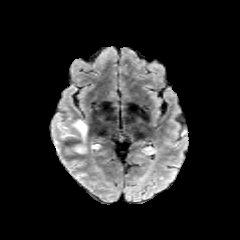
FLAIR MR.
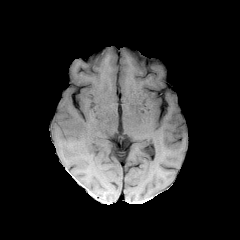
T1-weighted MR image.
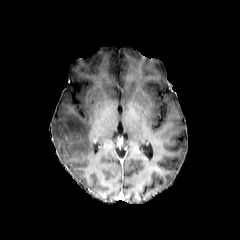
Same slice, post-contrast T1-weighted magnetic resonance.
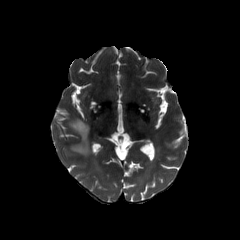
T2-weighted MR.
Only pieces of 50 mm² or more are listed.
peritumoral edema: [69, 120, 87, 153]